Head
FLAIR MR image.
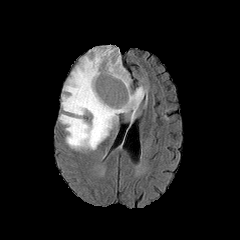
T1-weighted MR.
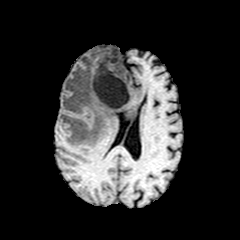
Post-contrast T1-weighted MR.
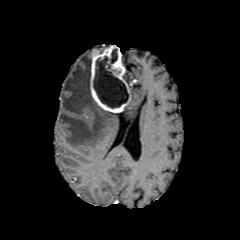
T2-weighted MR.
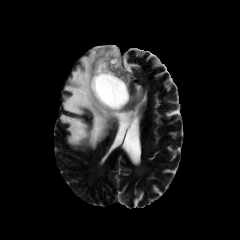
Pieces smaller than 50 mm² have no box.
Findings:
• enhancing tumor: left=90, top=45, right=131, bottom=112
• necrotic tumor core: left=93, top=49, right=128, bottom=108
• peritumoral edema: left=121, top=86, right=145, bottom=121; left=124, top=71, right=130, bottom=87; left=59, top=50, right=118, bottom=149